Slice 62 of 155; Brain
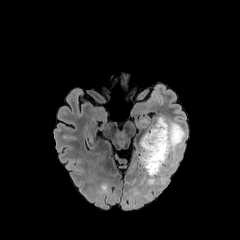
FLAIR MR image.
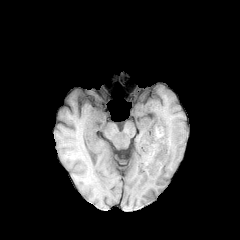
T1-weighted magnetic resonance of the same slice.
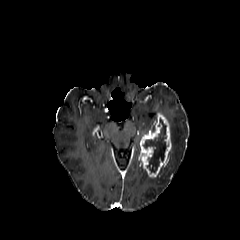
Post-contrast T1-weighted MR image.
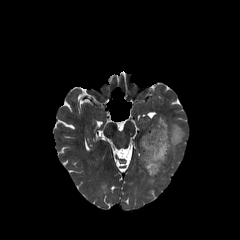
Same slice, T2-weighted MR image.
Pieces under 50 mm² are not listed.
peritumoral edema at box=[167, 119, 185, 168]; box=[146, 175, 165, 185]
enhancing tumor at box=[138, 113, 171, 177]
necrotic tumor core at box=[143, 117, 166, 172]